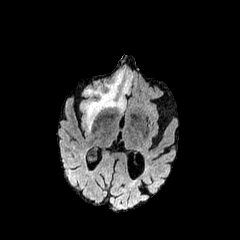
FLAIR MRI.
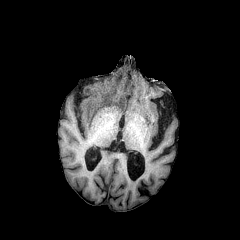
T1-weighted MR of the same slice.
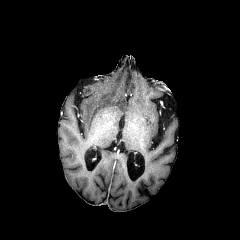
Post-contrast T1-weighted MR of the same slice.
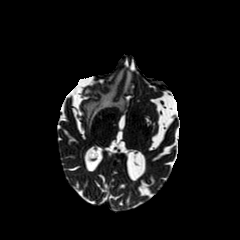
T2-weighted MR.
Axial slice; Brain
The peritumoral edema is located at 84:70:131:129.